FLAIR MR image.
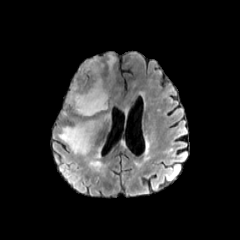
T1-weighted MR.
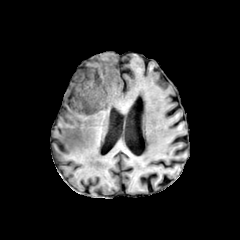
Post-contrast T1-weighted MR image.
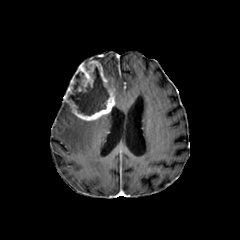
T2-weighted MR.
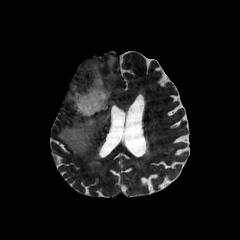
Brain. Axial view.
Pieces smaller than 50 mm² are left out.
necrotic tumor core = 68:67:109:115
enhancing tumor = 64:59:115:120
peritumoral edema = 58:117:100:154, 107:55:115:80